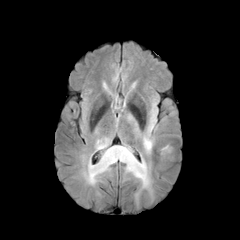
FLAIR MR image.
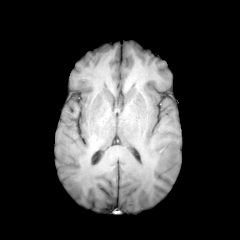
Same slice, T1-weighted MRI.
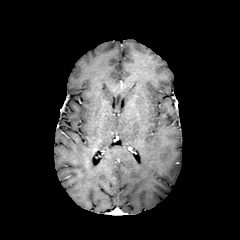
Post-contrast T1-weighted MR image.
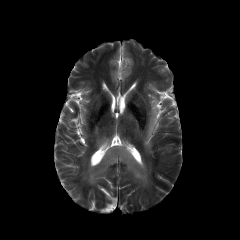
T2-weighted MR image of the same slice.
Head | 240x240 px | Axial slice
4 peritumoral edema regions appear at (86, 144, 151, 190), (162, 145, 171, 153), (143, 111, 155, 152), (97, 138, 109, 149).